Head
FLAIR magnetic resonance.
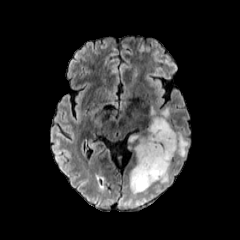
T1-weighted MR image.
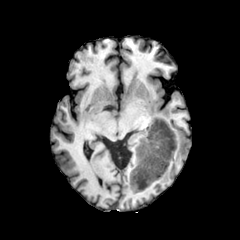
Post-contrast T1-weighted magnetic resonance.
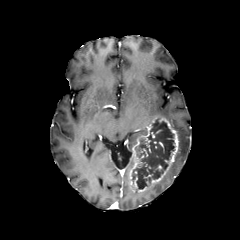
T2-weighted MRI.
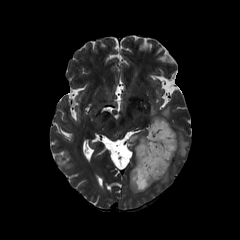
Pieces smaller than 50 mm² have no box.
The necrotic tumor core appears at l=132, t=119, r=174, b=189. The largest enhancing tumor region is bounded by l=129, t=116, r=178, b=191. The 3 largest peritumoral edema regions are located at l=160, t=107, r=169, b=119; l=160, t=165, r=171, b=183; l=175, t=131, r=189, b=162.